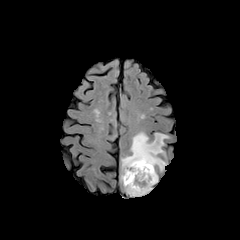
FLAIR magnetic resonance.
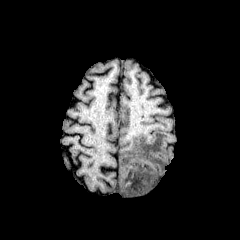
Same slice, T1-weighted MR image.
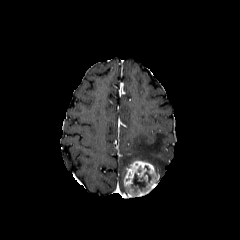
Post-contrast T1-weighted MR image.
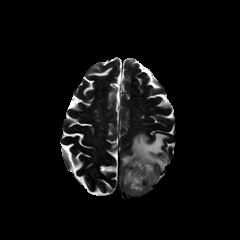
T2-weighted MRI of the same slice.
Brain, Axial view
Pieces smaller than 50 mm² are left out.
The largest necrotic tumor core region is bounded by <box>131,173,146,191</box>. The peritumoral edema is located at <box>120,132,168,181</box>. The enhancing tumor is bounded by <box>123,160,158,197</box>.